FLAIR MRI.
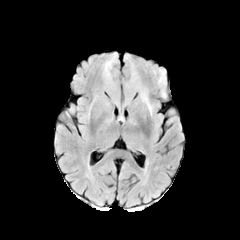
T1-weighted MR image.
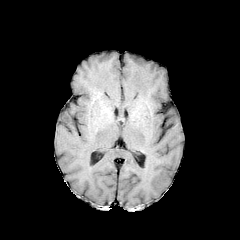
Post-contrast T1-weighted magnetic resonance.
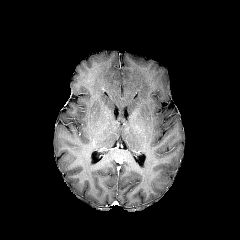
T2-weighted MR.
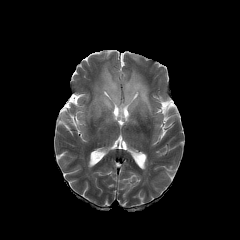
Head. Image size 240x240.
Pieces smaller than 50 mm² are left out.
{
  "peritumoral_edema": [
    "region(101, 61, 119, 105)",
    "region(124, 70, 152, 114)",
    "region(103, 98, 110, 107)",
    "region(158, 70, 165, 85)"
  ]
}